FLAIR MR.
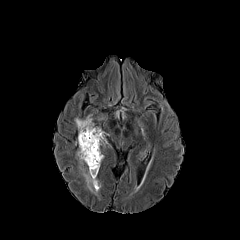
T1-weighted MR image.
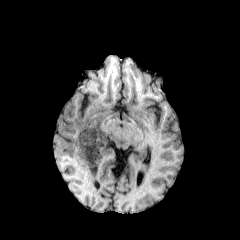
Post-contrast T1-weighted magnetic resonance.
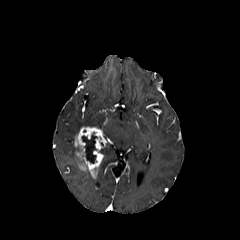
T2-weighted magnetic resonance.
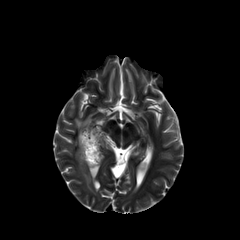
Brain
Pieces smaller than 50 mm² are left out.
Findings:
* peritumoral edema: 74,115,93,130; 82,170,99,193
* necrotic tumor core: 82,133,97,163
* enhancing tumor: 74,126,107,178